Head, Axial view
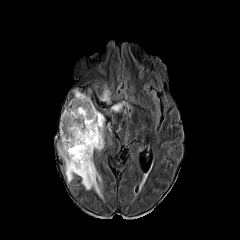
FLAIR MRI.
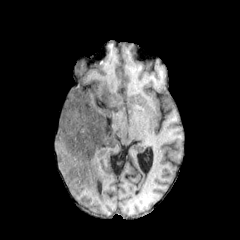
T1-weighted magnetic resonance.
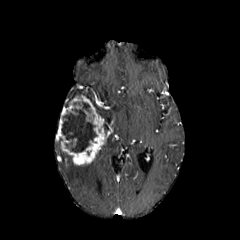
Post-contrast T1-weighted MR.
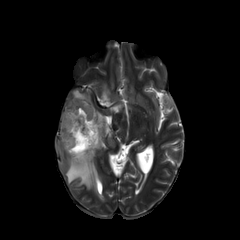
T2-weighted magnetic resonance of the same slice.
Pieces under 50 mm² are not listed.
enhancing tumor: box=[56, 94, 105, 165] | peritumoral edema: box=[57, 143, 102, 198]; box=[111, 103, 122, 111]; box=[101, 85, 109, 102] | necrotic tumor core: box=[62, 102, 96, 152]